Slice 84 of 155; 240x240 px; Axial plane; Brain
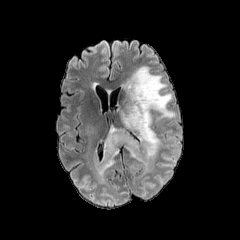
FLAIR MRI.
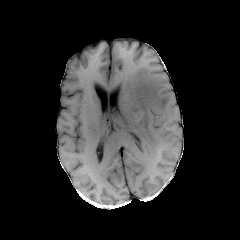
T1-weighted magnetic resonance.
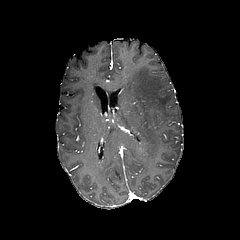
Post-contrast T1-weighted magnetic resonance of the same slice.
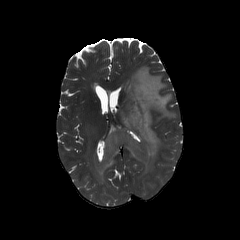
T2-weighted magnetic resonance.
The peritumoral edema is bounded by bbox(97, 66, 175, 179).